Axial plane, Brain
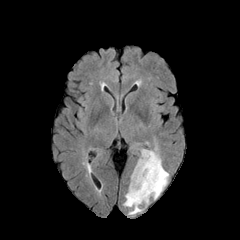
FLAIR MR.
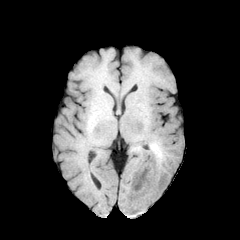
Same slice, T1-weighted MR.
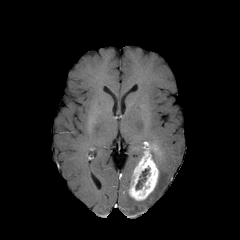
Post-contrast T1-weighted MRI.
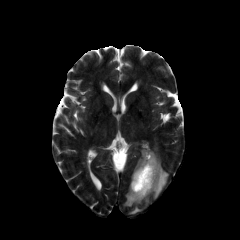
T2-weighted MR.
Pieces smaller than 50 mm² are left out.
<segmentation>
  <necrotic_tumor_core>(136, 169, 149, 189)</necrotic_tumor_core>
  <peritumoral_edema>(123, 147, 168, 214)</peritumoral_edema>
  <enhancing_tumor>(128, 141, 159, 201)</enhancing_tumor>
</segmentation>